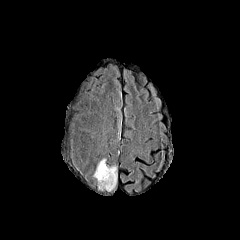
FLAIR MR.
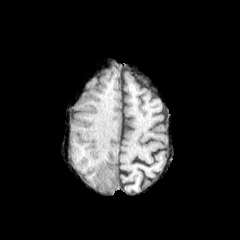
Same slice, T1-weighted MRI.
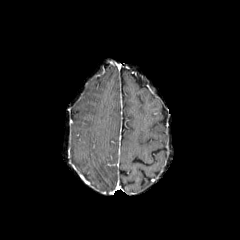
Post-contrast T1-weighted MRI.
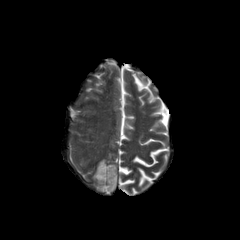
T2-weighted MR.
peritumoral edema at <box>93,158,117,193</box>